FLAIR MRI.
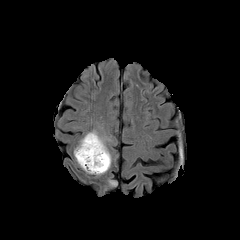
T1-weighted MR image.
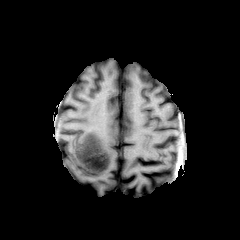
Post-contrast T1-weighted MR image.
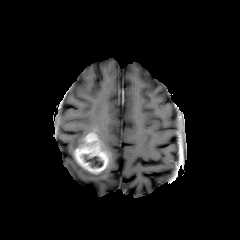
T2-weighted magnetic resonance.
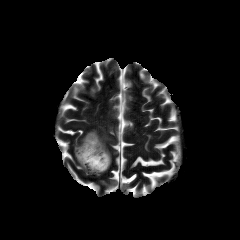
Brain
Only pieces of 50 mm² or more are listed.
enhancing tumor at 74:132:110:173
necrotic tumor core at 83:155:103:167
peritumoral edema at 91:129:111:152, 94:155:111:175